Slice index 58, Head, Image size 240x240
FLAIR MRI.
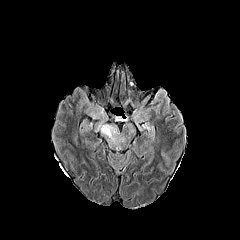
T1-weighted MR.
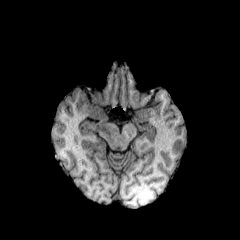
Post-contrast T1-weighted MR.
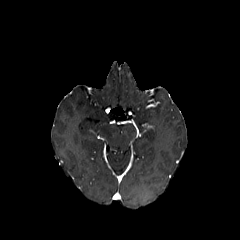
T2-weighted MR image.
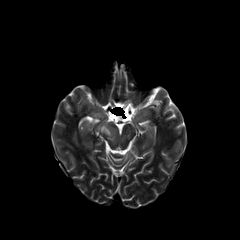
peritumoral edema: 97 124 117 142